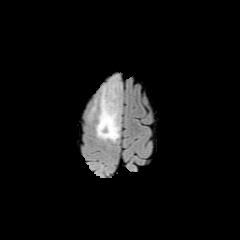
FLAIR MRI.
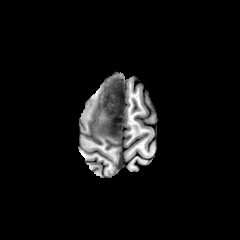
T1-weighted MRI of the same slice.
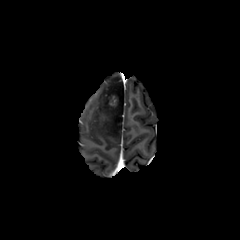
Post-contrast T1-weighted MR of the same slice.
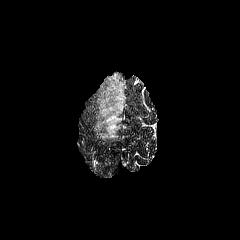
T2-weighted MR.
240x240 px; Axial plane
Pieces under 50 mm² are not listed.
enhancing_tumor:
  - [x1=109, y1=96, x2=116, y2=105]
peritumoral_edema:
  - [x1=95, y1=75, x2=122, y2=142]